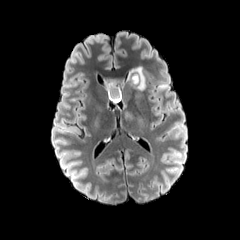
FLAIR MR image.
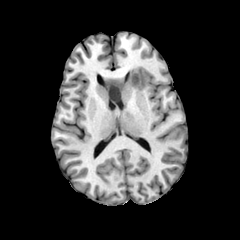
T1-weighted MR image of the same slice.
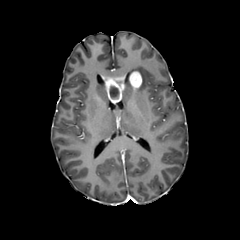
Same slice, post-contrast T1-weighted MR image.
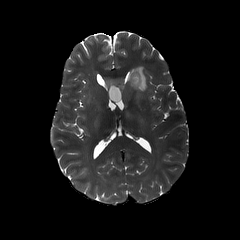
Same slice, T2-weighted MRI.
240x240 px. Axial slice.
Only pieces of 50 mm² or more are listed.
2 enhancing tumor regions are located at [x1=130, y1=71, x2=142, y2=89], [x1=103, y1=76, x2=124, y2=103]. The 2 largest peritumoral edema regions appear at [x1=124, y1=111, x2=132, y2=120], [x1=125, y1=65, x2=147, y2=91]. 2 necrotic tumor core regions appear at [x1=131, y1=74, x2=139, y2=84], [x1=110, y1=87, x2=118, y2=97].